Brain
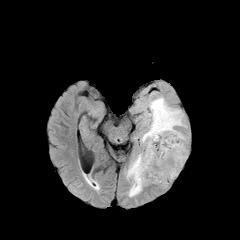
FLAIR MR image.
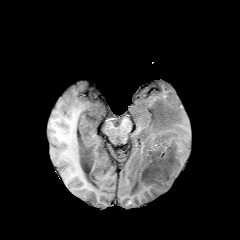
T1-weighted MRI.
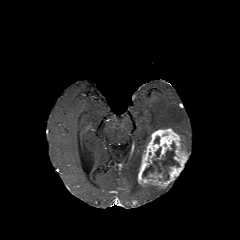
Post-contrast T1-weighted MR of the same slice.
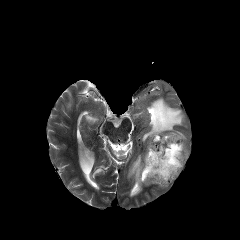
T2-weighted MRI.
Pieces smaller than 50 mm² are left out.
enhancing tumor: {"x1": 137, "y1": 128, "x2": 187, "y2": 188}
necrotic tumor core: {"x1": 142, "y1": 165, "x2": 154, "y2": 177}, {"x1": 152, "y1": 142, "x2": 179, "y2": 179}
peritumoral edema: {"x1": 126, "y1": 153, "x2": 143, "y2": 197}, {"x1": 141, "y1": 97, "x2": 186, "y2": 149}